FLAIR magnetic resonance.
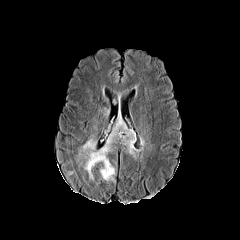
T1-weighted MR.
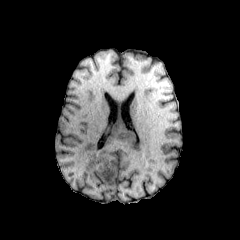
Post-contrast T1-weighted MR image.
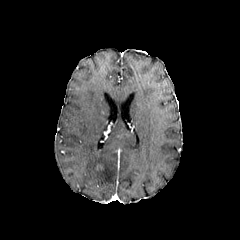
T2-weighted MRI.
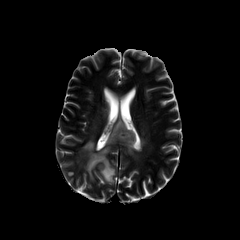
Head.
peritumoral edema: (77, 119, 135, 181)